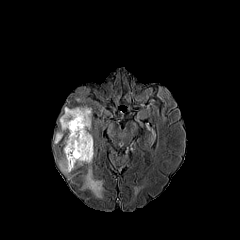
FLAIR MRI.
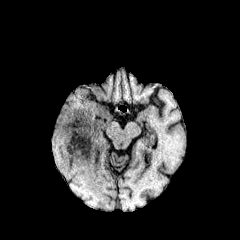
Same slice, T1-weighted magnetic resonance.
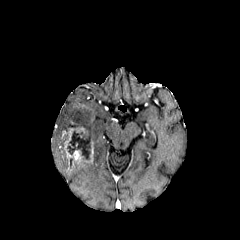
Post-contrast T1-weighted MRI.
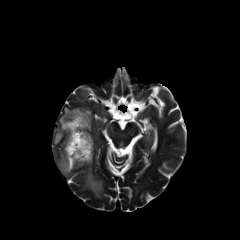
T2-weighted MRI.
Axial slice, Brain
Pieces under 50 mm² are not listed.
Annotated regions:
* necrotic tumor core: [67, 130, 90, 159]
* peritumoral edema: [54, 106, 92, 143], [58, 147, 70, 174], [72, 162, 102, 197]
* enhancing tumor: [62, 122, 93, 171]